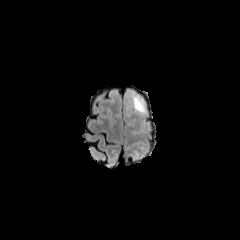
FLAIR MR.
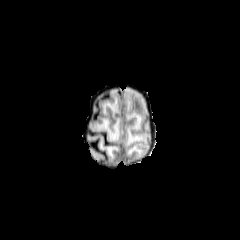
T1-weighted magnetic resonance of the same slice.
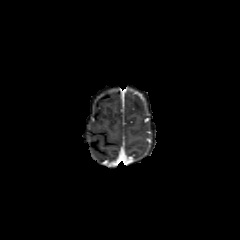
Post-contrast T1-weighted magnetic resonance.
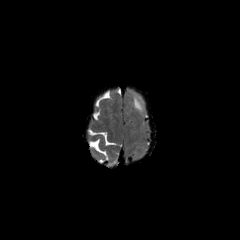
T2-weighted magnetic resonance.
peritumoral edema: rect(133, 96, 145, 113)